FLAIR magnetic resonance.
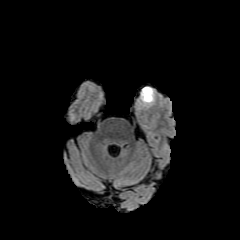
T1-weighted MR image.
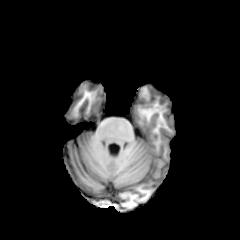
Post-contrast T1-weighted MR.
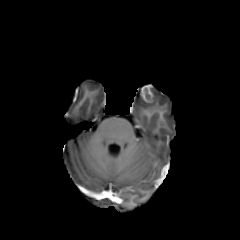
T2-weighted MRI.
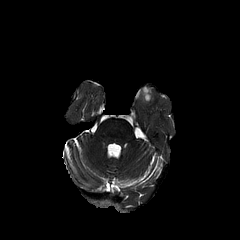
Axial view.
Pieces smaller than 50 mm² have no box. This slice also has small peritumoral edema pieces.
The enhancing tumor is bounded by 141,86,153,102. The necrotic tumor core is at 144,89,150,100.